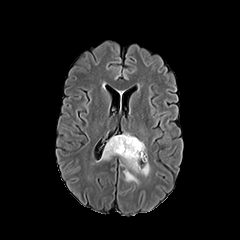
FLAIR MRI.
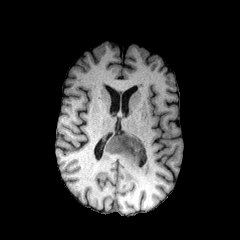
Same slice, T1-weighted MR image.
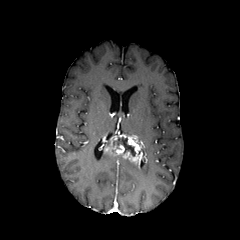
Post-contrast T1-weighted magnetic resonance.
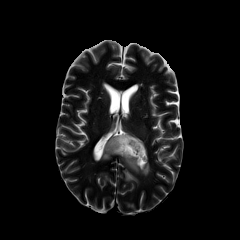
T2-weighted magnetic resonance.
Axial view. Brain.
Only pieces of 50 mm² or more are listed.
peritumoral edema: <bbox>123, 169, 138, 183</bbox>, <bbox>100, 148, 115, 159</bbox>, <bbox>118, 155, 149, 175</bbox>
necrotic tumor core: <bbox>113, 137, 135, 156</bbox>
enhancing tumor: <bbox>105, 134, 147, 167</bbox>